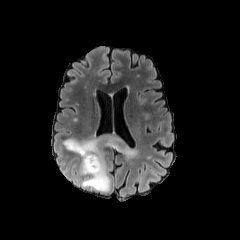
FLAIR magnetic resonance.
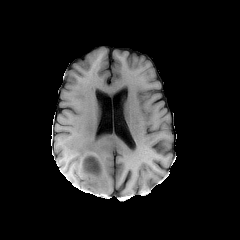
T1-weighted MR.
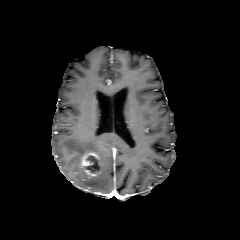
Same slice, post-contrast T1-weighted magnetic resonance.
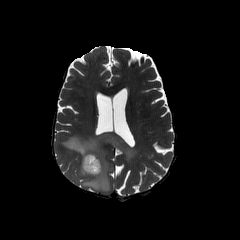
T2-weighted MR image.
240x240 px, Head
peritumoral edema: (x1=63, y1=133, x2=137, y2=191)
necrotic tumor core: (x1=85, y1=156, x2=98, y2=172)
enhancing tumor: (x1=82, y1=153, x2=100, y2=176)